Slice 60/155, Brain
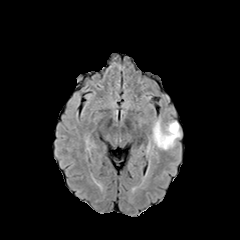
FLAIR magnetic resonance.
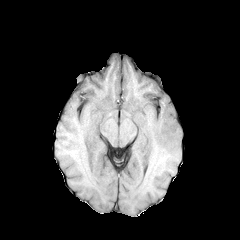
T1-weighted MRI.
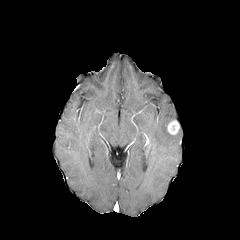
Post-contrast T1-weighted magnetic resonance of the same slice.
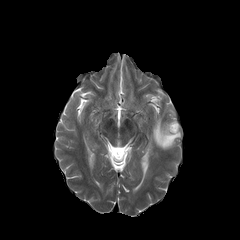
Same slice, T2-weighted magnetic resonance.
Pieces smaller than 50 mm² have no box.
enhancing_tumor:
  - l=167, t=120, r=179, b=134
peritumoral_edema:
  - l=151, t=117, r=181, b=150